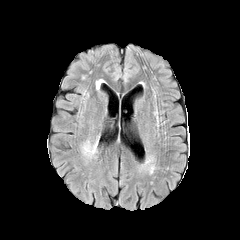
FLAIR MR.
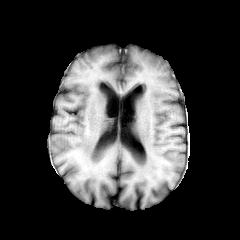
Same slice, T1-weighted MR image.
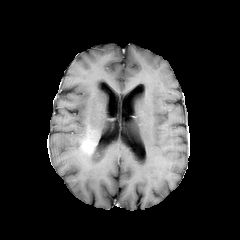
Post-contrast T1-weighted MRI.
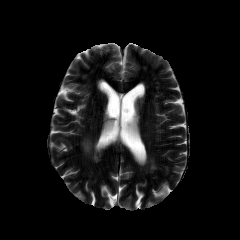
T2-weighted magnetic resonance of the same slice.
Brain
enhancing tumor at box(82, 140, 95, 153)
peritumoral edema at box(82, 141, 97, 156)